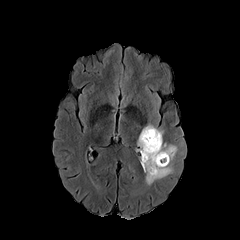
FLAIR MR image.
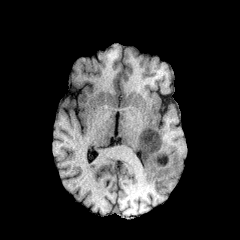
T1-weighted MRI.
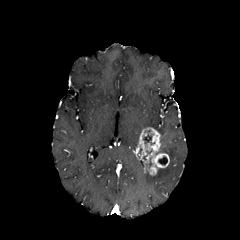
Same slice, post-contrast T1-weighted MRI.
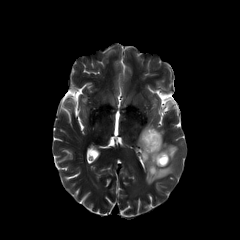
T2-weighted MR image.
Axial view
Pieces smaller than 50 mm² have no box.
peritumoral edema at 145,124,177,184
necrotic tumor core at 158,157,167,164; 143,134,151,143
enhancing tumor at 136,127,169,175